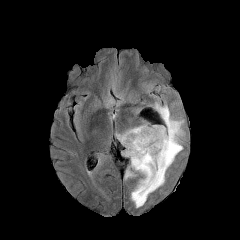
FLAIR MRI.
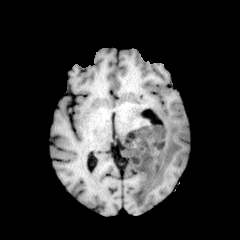
T1-weighted magnetic resonance.
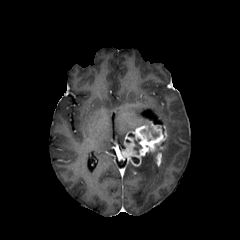
Post-contrast T1-weighted MR.
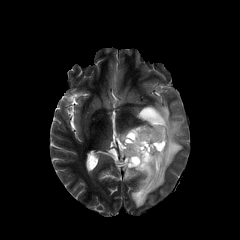
T2-weighted MR of the same slice.
Head
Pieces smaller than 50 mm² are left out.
2 enhancing tumor regions appear at l=121, t=124, r=167, b=166; l=156, t=152, r=161, b=166. The largest necrotic tumor core region is located at l=134, t=139, r=141, b=154. The 2 largest peritumoral edema regions are bounded by l=117, t=127, r=136, b=144; l=125, t=103, r=183, b=207.